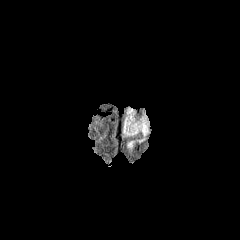
FLAIR magnetic resonance.
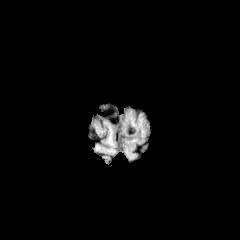
T1-weighted magnetic resonance of the same slice.
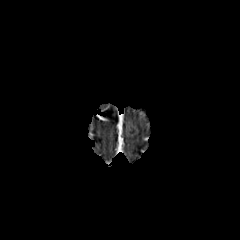
Post-contrast T1-weighted magnetic resonance.
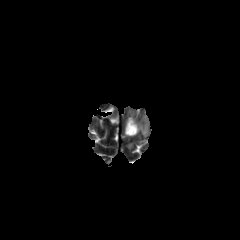
Same slice, T2-weighted magnetic resonance.
Brain
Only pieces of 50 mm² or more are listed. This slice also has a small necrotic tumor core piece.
{"enhancing_tumor": ["region(125, 119, 138, 136)"], "peritumoral_edema": ["region(124, 110, 148, 135)"]}